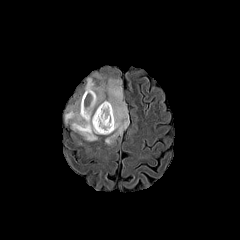
FLAIR MR image.
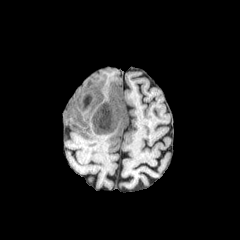
T1-weighted MR of the same slice.
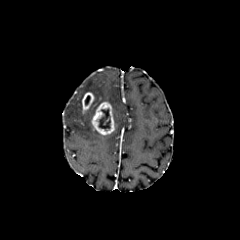
Post-contrast T1-weighted MR.
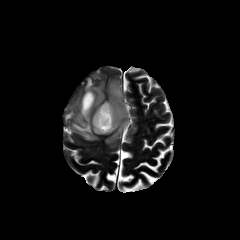
T2-weighted MR of the same slice.
Axial view | Head | 240x240
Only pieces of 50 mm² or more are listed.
The 2 largest enhancing tumor regions appear at x1=82 y1=92 x2=94 y2=114, x1=91 y1=101 x2=115 y2=135. The peritumoral edema is bounded by x1=65 y1=72 x2=128 y2=144. The largest necrotic tumor core region appears at x1=99 y1=109 x2=110 y2=129.